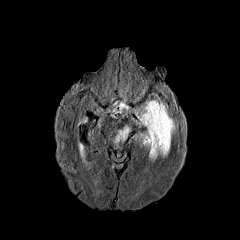
FLAIR MR image.
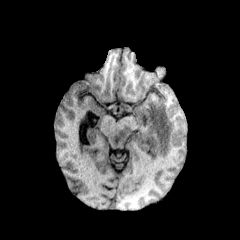
Same slice, T1-weighted magnetic resonance.
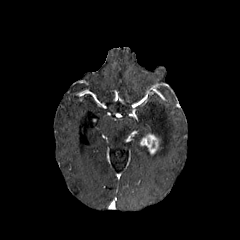
Post-contrast T1-weighted magnetic resonance of the same slice.
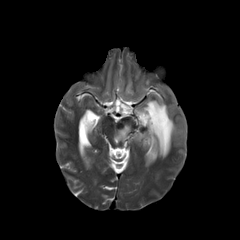
T2-weighted MR of the same slice.
Axial plane.
enhancing_tumor:
  - <bbox>140, 133, 160, 154</bbox>
peritumoral_edema:
  - <bbox>135, 100, 175, 160</bbox>
  - <bbox>115, 125, 130, 142</bbox>